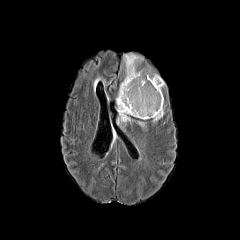
FLAIR magnetic resonance.
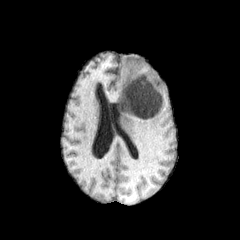
T1-weighted MR.
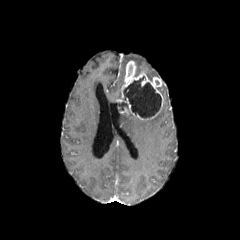
Post-contrast T1-weighted magnetic resonance.
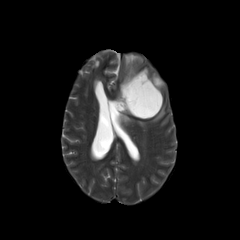
T2-weighted MR image.
Axial view
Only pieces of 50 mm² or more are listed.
<segmentation>
  <enhancing_tumor>[117, 60, 163, 119]</enhancing_tumor>
  <necrotic_tumor_core>[117, 102, 128, 110], [123, 76, 161, 118]</necrotic_tumor_core>
  <peritumoral_edema>[117, 113, 131, 123], [124, 54, 142, 64], [152, 108, 164, 122]</peritumoral_edema>
</segmentation>